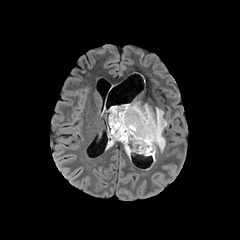
FLAIR MR.
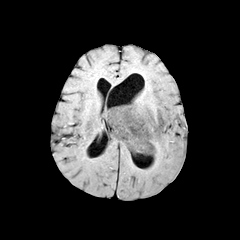
Same slice, T1-weighted MRI.
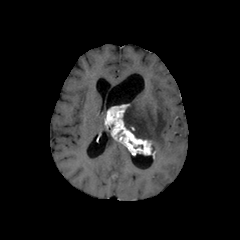
Post-contrast T1-weighted MR image.
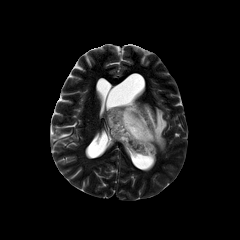
Same slice, T2-weighted MRI.
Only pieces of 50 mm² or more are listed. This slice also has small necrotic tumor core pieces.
The 2 largest peritumoral edema regions are bounded by (123, 101, 167, 152), (106, 129, 115, 149). The largest enhancing tumor region lies within (105, 104, 155, 156).